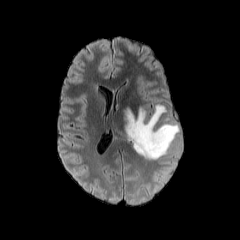
FLAIR MR image.
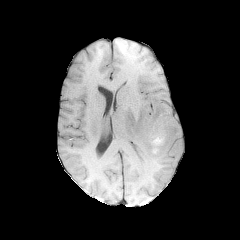
Same slice, T1-weighted MR image.
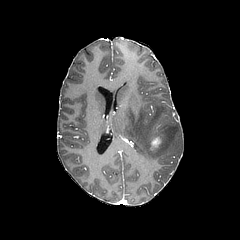
Post-contrast T1-weighted magnetic resonance.
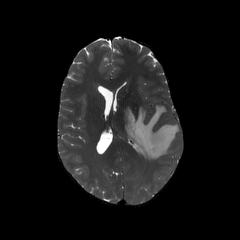
T2-weighted MR image.
240x240 px
peritumoral edema at bbox=[125, 104, 180, 159]
enhancing tumor at bbox=[151, 135, 161, 147]